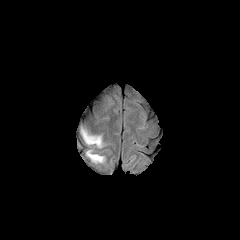
FLAIR MR.
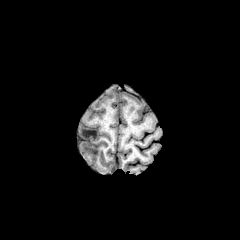
T1-weighted MRI.
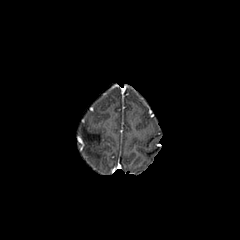
Post-contrast T1-weighted MR.
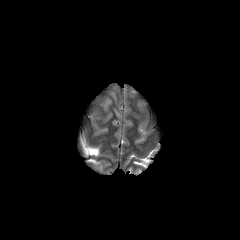
T2-weighted MRI of the same slice.
240x240 px, Brain, Axial view
2 peritumoral edema regions are located at left=82, top=130, right=101, bottom=147; left=86, top=149, right=103, bottom=162.